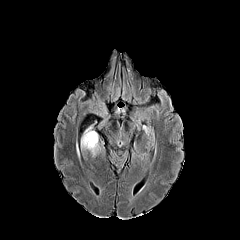
FLAIR MRI.
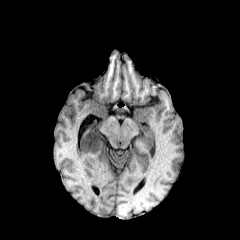
Same slice, T1-weighted MR.
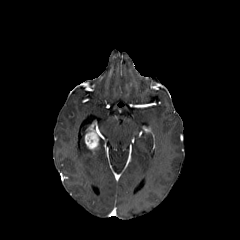
Post-contrast T1-weighted MRI of the same slice.
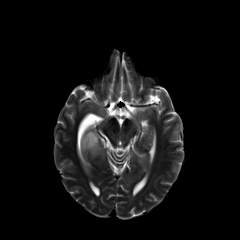
T2-weighted MR image of the same slice.
Brain
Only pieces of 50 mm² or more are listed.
The enhancing tumor appears at 84,127,98,153. The largest peritumoral edema region is located at 81,130,88,151.